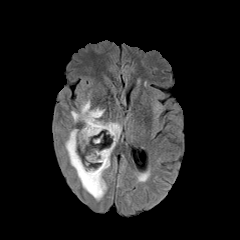
FLAIR MR.
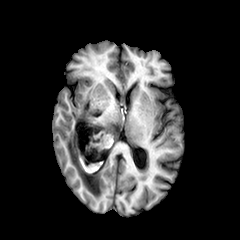
T1-weighted MR.
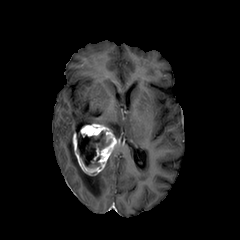
Post-contrast T1-weighted magnetic resonance.
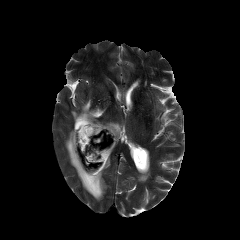
T2-weighted MR image.
Image size 240x240
necrotic tumor core: bounding box (76,130,111,167)
peritumoral edema: bounding box (65,129,110,200), (71,100,121,141)
enhancing tumor: bounding box (72,123,117,175)